Slice 56/155 | Axial plane
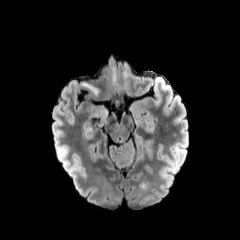
FLAIR MR.
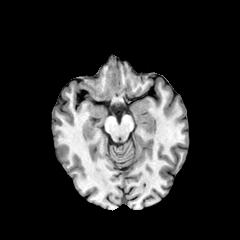
T1-weighted magnetic resonance.
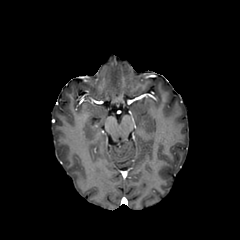
Post-contrast T1-weighted MRI.
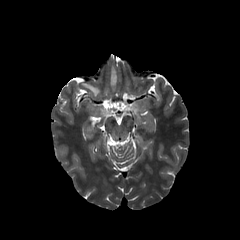
Same slice, T2-weighted MR.
peritumoral edema at [111, 67, 116, 84], [83, 83, 98, 95]